Image covers 240 mm x 240 mm. Head.
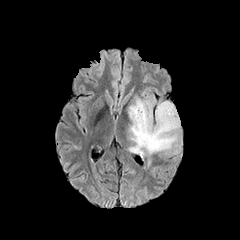
FLAIR MR.
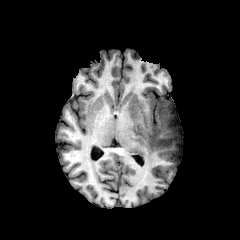
T1-weighted MRI.
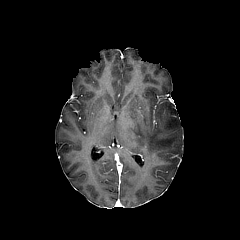
Post-contrast T1-weighted MR image.
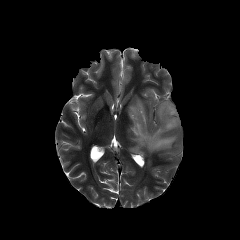
Same slice, T2-weighted magnetic resonance.
- peritumoral edema: box=[128, 98, 180, 155]